Head
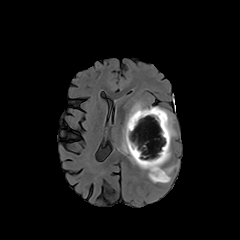
FLAIR MRI.
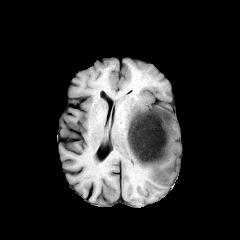
T1-weighted MR image of the same slice.
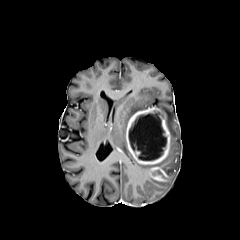
Same slice, post-contrast T1-weighted MR image.
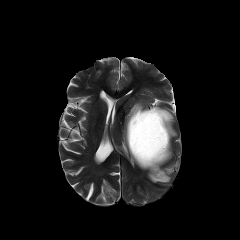
Same slice, T2-weighted MR.
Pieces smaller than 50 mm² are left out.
Segmented structures:
• necrotic tumor core: 129 112 166 160
• peritumoral edema: 157 106 176 168, 121 101 178 183
• enhancing tumor: 126 107 170 181